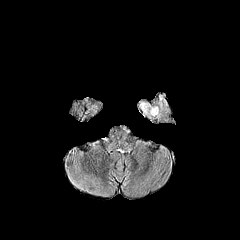
FLAIR MR image.
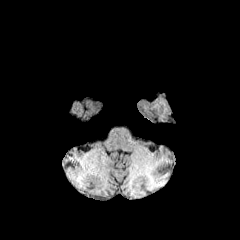
T1-weighted magnetic resonance.
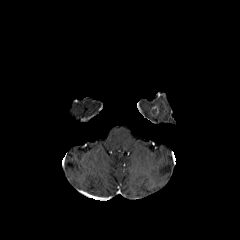
Post-contrast T1-weighted MRI of the same slice.
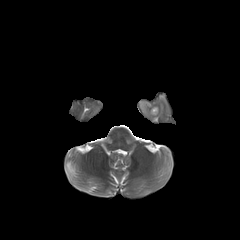
T2-weighted MR of the same slice.
240x240
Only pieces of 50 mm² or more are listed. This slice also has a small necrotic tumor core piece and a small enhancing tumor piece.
The largest peritumoral edema region is located at left=140, top=102, right=155, bottom=117.